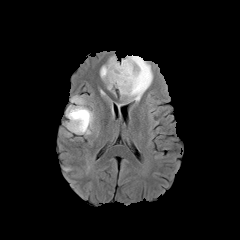
FLAIR magnetic resonance.
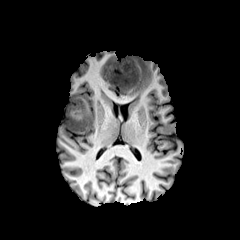
T1-weighted MR image.
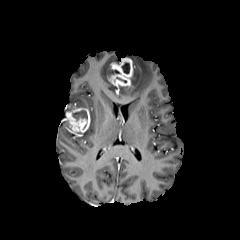
Post-contrast T1-weighted MR.
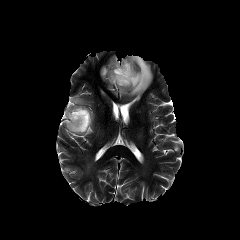
T2-weighted MRI.
Axial plane
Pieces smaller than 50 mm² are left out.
{
  "necrotic_tumor_core": [
    "x1=72, y1=110, x2=87, y2=119",
    "x1=108, y1=66, x2=119, y2=76",
    "x1=122, y1=62, x2=129, y2=73"
  ],
  "enhancing_tumor": [
    "x1=107, y1=57, x2=133, y2=86",
    "x1=65, y1=106, x2=90, y2=132"
  ],
  "peritumoral_edema": [
    "x1=71, y1=96, x2=85, y2=107",
    "x1=100, y1=56, x2=119, y2=90",
    "x1=79, y1=110, x2=93, y2=134",
    "x1=119, y1=55, x2=153, y2=101"
  ]
}